Image width 240 mm; Axial plane; Head; 240x240
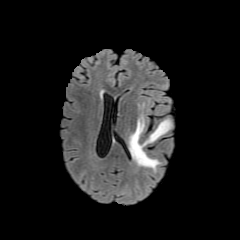
FLAIR MRI.
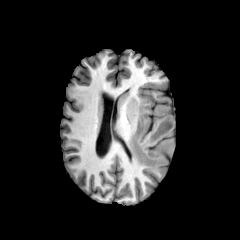
T1-weighted MR of the same slice.
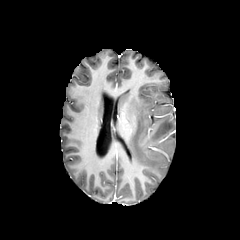
Post-contrast T1-weighted magnetic resonance of the same slice.
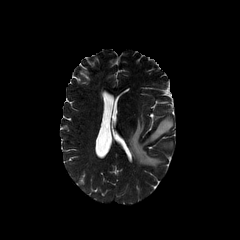
Same slice, T2-weighted MRI.
Annotated regions:
• peritumoral edema: 128,103,172,169